Head, Image size 240x240
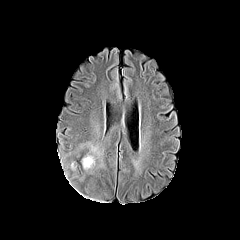
FLAIR MRI.
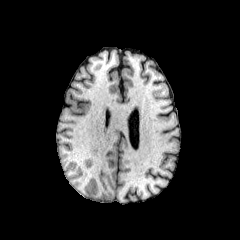
Same slice, T1-weighted MR image.
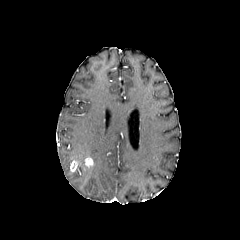
Post-contrast T1-weighted magnetic resonance of the same slice.
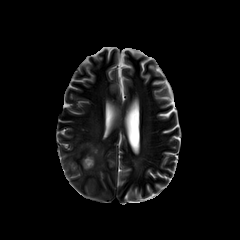
Same slice, T2-weighted MRI.
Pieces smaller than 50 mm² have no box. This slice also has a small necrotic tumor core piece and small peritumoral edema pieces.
<segmentation>
  <enhancing_tumor>bbox=[85, 157, 93, 167]</enhancing_tumor>
</segmentation>